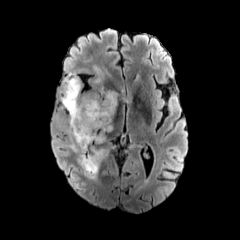
FLAIR MR image.
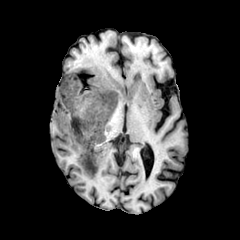
Same slice, T1-weighted MR.
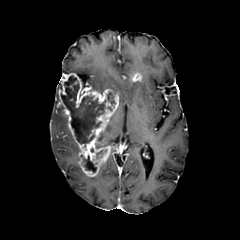
Same slice, post-contrast T1-weighted magnetic resonance.
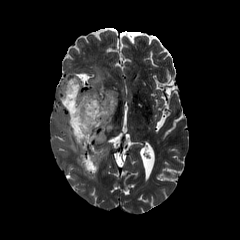
Same slice, T2-weighted magnetic resonance.
Head
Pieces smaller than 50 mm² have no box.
<segmentation>
  <necrotic_tumor_core>{"x1": 107, "y1": 92, "x2": 114, "y2": 103}, {"x1": 61, "y1": 76, "x2": 105, "y2": 143}, {"x1": 83, "y1": 156, "x2": 96, "y2": 172}</necrotic_tumor_core>
  <enhancing_tumor>{"x1": 58, "y1": 73, "x2": 118, "y2": 177}, {"x1": 133, "y1": 73, "x2": 141, "y2": 80}</enhancing_tumor>
  <peritumoral_edema>{"x1": 63, "y1": 127, "x2": 79, "y2": 152}, {"x1": 93, "y1": 66, "x2": 103, "y2": 83}</peritumoral_edema>
</segmentation>